FLAIR magnetic resonance.
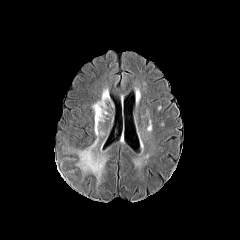
T1-weighted MR.
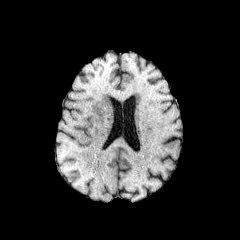
Post-contrast T1-weighted MRI.
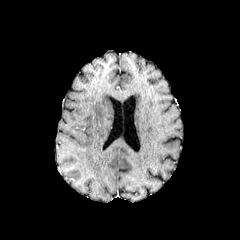
T2-weighted MRI.
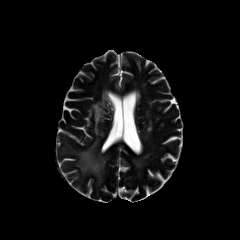
Axial plane | Head
2 peritumoral edema regions appear at left=92, top=96, right=107, bottom=134; left=78, top=140, right=105, bottom=181.